FLAIR MR.
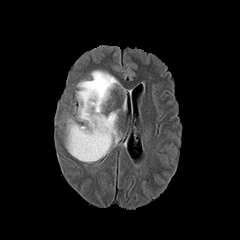
T1-weighted MRI.
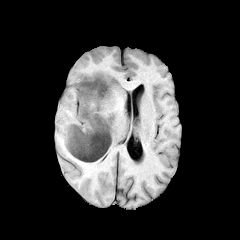
Post-contrast T1-weighted MR.
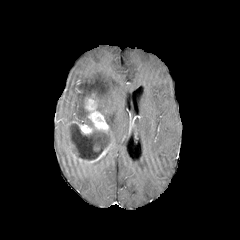
T2-weighted MRI.
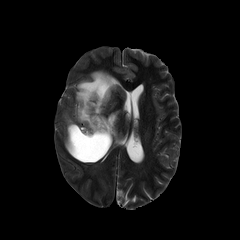
240x240
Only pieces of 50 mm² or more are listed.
enhancing_tumor:
  - <box>68,93,111,162</box>
peritumoral_edema:
  - <box>75,70,120,126</box>
  - <box>104,110,121,154</box>
  - <box>65,117,78,151</box>
necrotic_tumor_core:
  - <box>72,125,96,159</box>